240x240 | Image width 240 mm
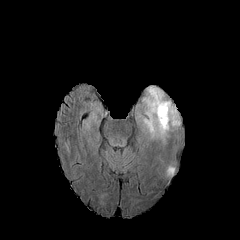
FLAIR MR image.
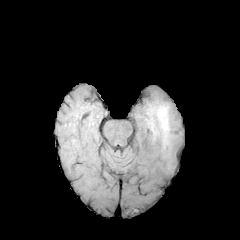
T1-weighted MR of the same slice.
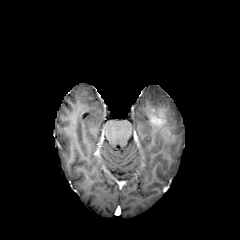
Same slice, post-contrast T1-weighted MR.
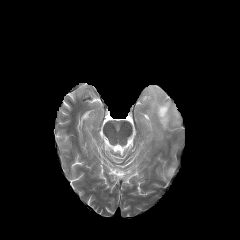
T2-weighted MR image of the same slice.
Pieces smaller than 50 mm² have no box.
enhancing tumor = (x1=151, y1=109, x2=165, y2=125)
peritumoral edema = (x1=143, y1=86, x2=179, y2=136)